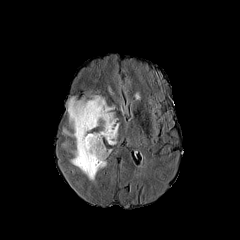
FLAIR MR.
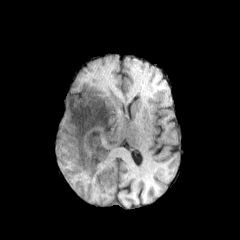
Same slice, T1-weighted magnetic resonance.
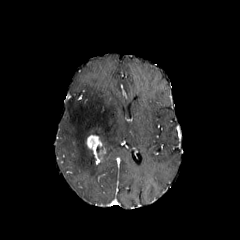
Post-contrast T1-weighted MR image.
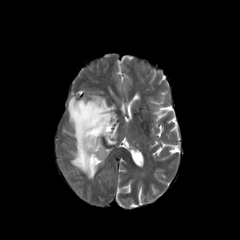
T2-weighted MRI.
Image size 240x240. Axial plane. Head.
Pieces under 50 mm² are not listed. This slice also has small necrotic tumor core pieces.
enhancing_tumor:
  - box=[86, 134, 106, 164]
peritumoral_edema:
  - box=[67, 95, 118, 180]